Image width 240 mm, 1.00 mm slice spacing, Axial view
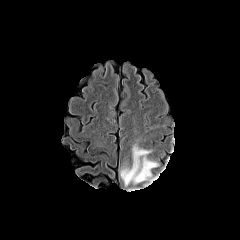
FLAIR MR image.
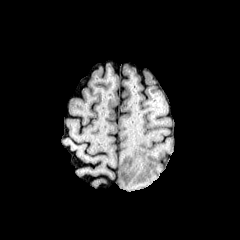
T1-weighted MRI of the same slice.
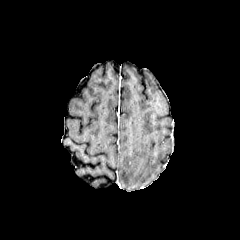
Post-contrast T1-weighted MRI.
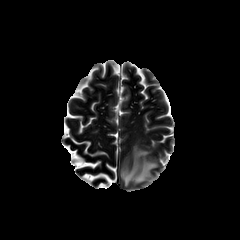
T2-weighted magnetic resonance of the same slice.
Annotated regions:
- peritumoral edema: 120:145:158:186